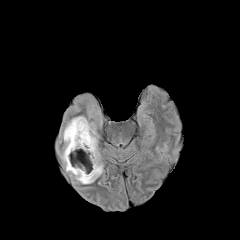
FLAIR MR.
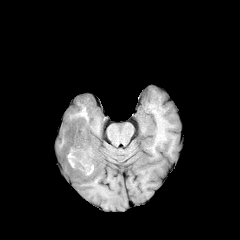
T1-weighted magnetic resonance.
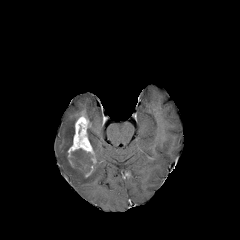
Post-contrast T1-weighted MR.
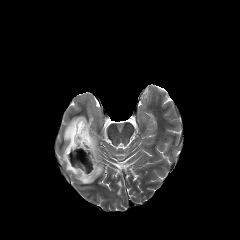
Same slice, T2-weighted magnetic resonance.
Image size 240x240; Axial plane
The peritumoral edema is at bbox(61, 116, 103, 183). The enhancing tumor appears at bbox(67, 116, 96, 177). The necrotic tumor core is located at bbox(71, 149, 92, 172).